FLAIR magnetic resonance.
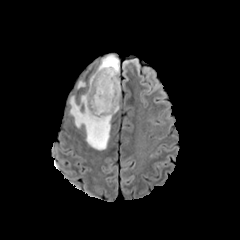
T1-weighted magnetic resonance.
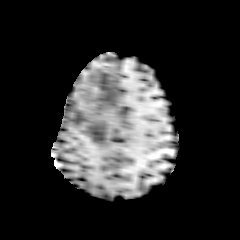
Post-contrast T1-weighted MR image.
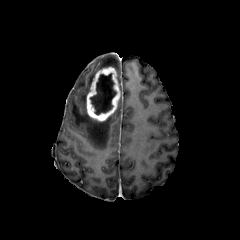
T2-weighted MR.
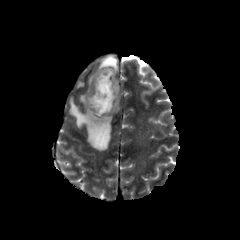
240x240 px; Head
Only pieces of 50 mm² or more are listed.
The 2 largest peritumoral edema regions appear at bbox(70, 94, 111, 150); bbox(97, 54, 119, 73). The necrotic tumor core lies within bbox(90, 73, 116, 114). The enhancing tumor is bounded by bbox(86, 67, 120, 121).